FLAIR MR.
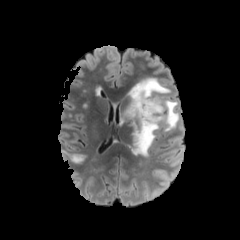
T1-weighted magnetic resonance.
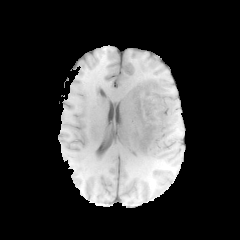
Post-contrast T1-weighted MR.
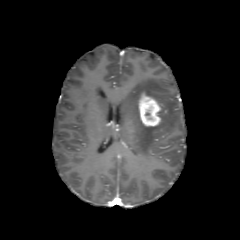
T2-weighted MR.
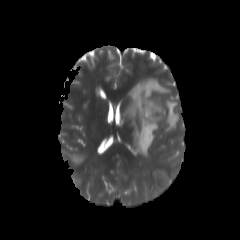
Image size 240x240, Head
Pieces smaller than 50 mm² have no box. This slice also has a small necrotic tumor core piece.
peritumoral edema — region(125, 77, 179, 156)
enhancing tumor — region(138, 92, 161, 126)